FLAIR MR image.
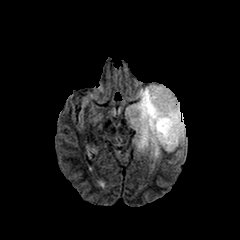
T1-weighted MR image.
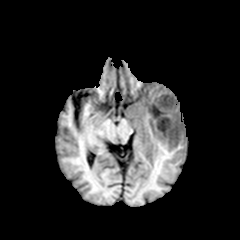
Post-contrast T1-weighted magnetic resonance.
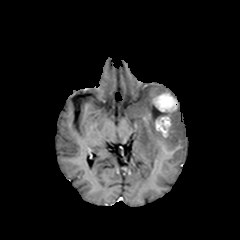
T2-weighted magnetic resonance.
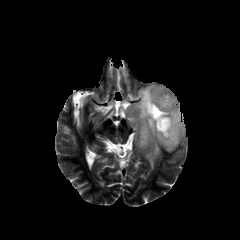
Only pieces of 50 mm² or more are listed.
- enhancing tumor: rect(148, 93, 177, 137)
- peritumoral edema: rect(126, 84, 186, 160)
- necrotic tumor core: rect(152, 105, 164, 119)